240x240 px
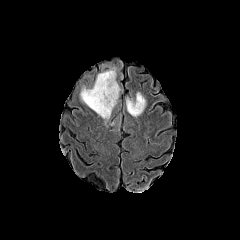
FLAIR magnetic resonance.
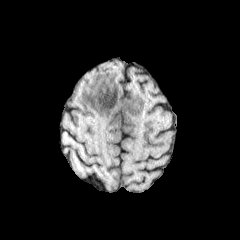
T1-weighted MR image.
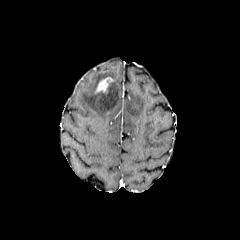
Post-contrast T1-weighted MR.
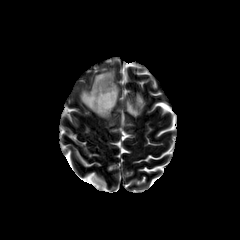
T2-weighted MRI of the same slice.
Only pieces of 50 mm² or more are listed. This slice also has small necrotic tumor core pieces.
enhancing tumor: bounding box region(95, 77, 112, 93)
peritumoral edema: bounding box region(80, 69, 119, 120); region(126, 92, 146, 117)